FLAIR MRI.
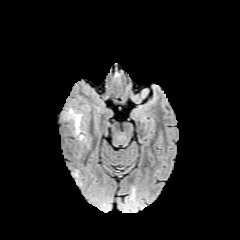
T1-weighted MR.
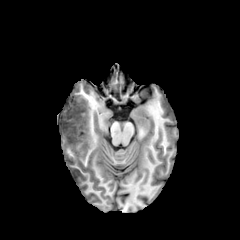
Post-contrast T1-weighted magnetic resonance.
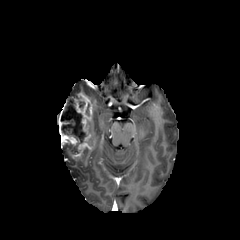
T2-weighted MRI.
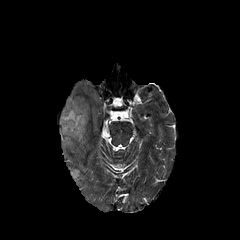
Axial plane | Brain
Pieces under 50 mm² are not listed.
The largest necrotic tumor core region lies within box=[61, 98, 86, 148]. The enhancing tumor is located at box=[59, 93, 92, 158].